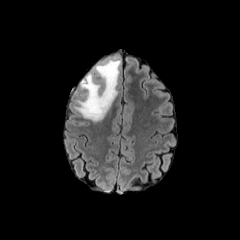
FLAIR MR image.
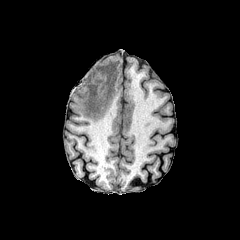
T1-weighted MR image of the same slice.
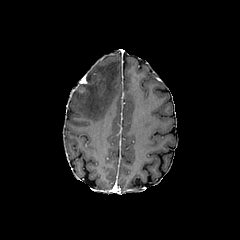
Post-contrast T1-weighted MR image.
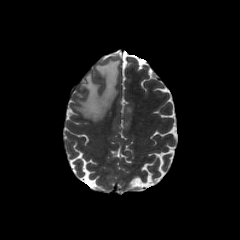
T2-weighted MRI.
Image size 240x240
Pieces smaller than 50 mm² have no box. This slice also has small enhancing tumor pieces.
The peritumoral edema is located at <box>75,59,120,122</box>.